FLAIR magnetic resonance.
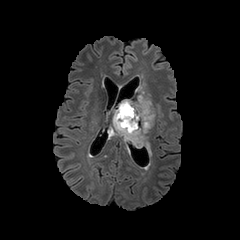
T1-weighted MR image.
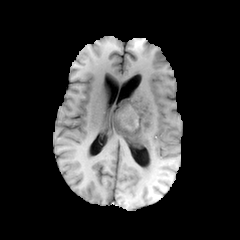
Post-contrast T1-weighted magnetic resonance.
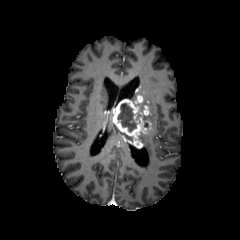
T2-weighted MRI.
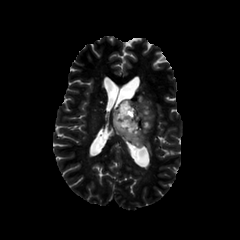
240x240 px | Axial plane
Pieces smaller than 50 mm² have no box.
<segmentation>
  <necrotic_tumor_core>region(118, 103, 136, 131)</necrotic_tumor_core>
  <enhancing_tumor>region(113, 96, 152, 147)</enhancing_tumor>
  <peritumoral_edema>region(115, 125, 133, 144); region(140, 133, 151, 153); region(132, 82, 153, 124)</peritumoral_edema>
</segmentation>